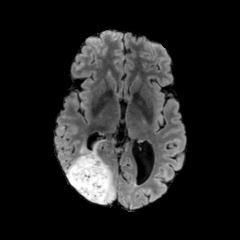
FLAIR MR.
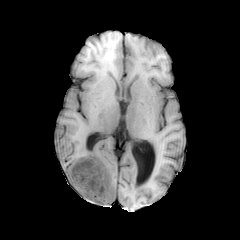
T1-weighted MRI.
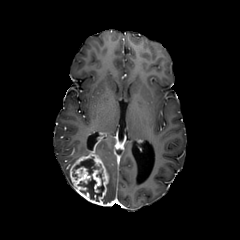
Post-contrast T1-weighted magnetic resonance of the same slice.
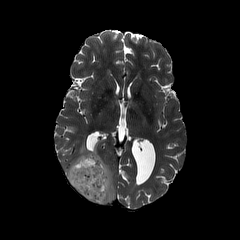
T2-weighted MRI of the same slice.
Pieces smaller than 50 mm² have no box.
peritumoral edema: [x1=66, y1=141, x2=101, y2=185], [x1=101, y1=161, x2=115, y2=205] | enhancing tumor: [x1=69, y1=149, x2=109, y2=204] | necrotic tumor core: [x1=78, y1=170, x2=104, y2=201], [x1=72, y1=157, x2=100, y2=177]